Brain. Axial slice.
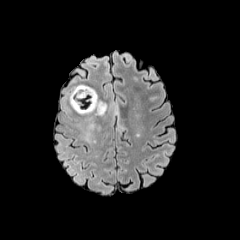
FLAIR MRI.
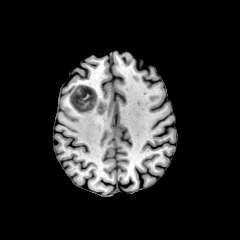
T1-weighted MR.
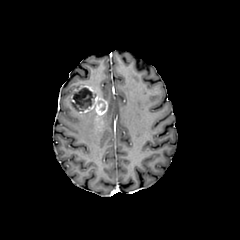
Same slice, post-contrast T1-weighted MRI.
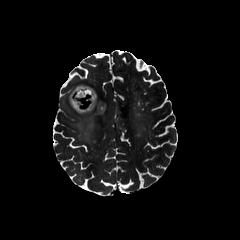
Same slice, T2-weighted magnetic resonance.
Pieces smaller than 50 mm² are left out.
{
  "necrotic_tumor_core": [
    "<bbox>73, 88, 94, 110</bbox>"
  ],
  "enhancing_tumor": [
    "<bbox>71, 85, 107, 115</bbox>"
  ],
  "peritumoral_edema": [
    "<bbox>68, 84, 101, 144</bbox>"
  ]
}